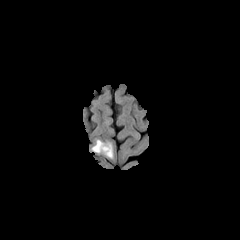
FLAIR MR.
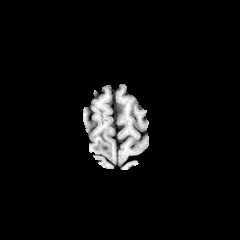
T1-weighted magnetic resonance of the same slice.
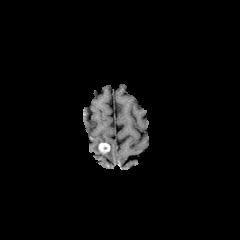
Post-contrast T1-weighted MR image of the same slice.
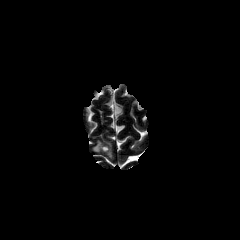
T2-weighted MR image.
Axial view.
peritumoral edema: {"x1": 91, "y1": 139, "x2": 113, "y2": 158}
enhancing tumor: {"x1": 98, "y1": 143, "x2": 110, "y2": 153}